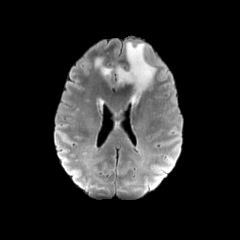
FLAIR MR.
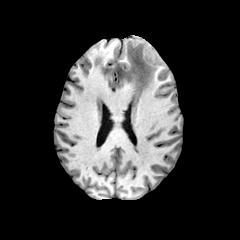
T1-weighted MR image.
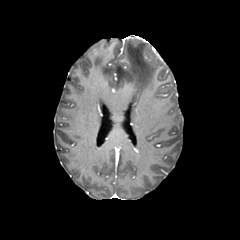
Post-contrast T1-weighted MR image.
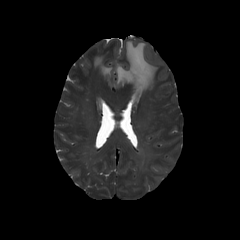
T2-weighted magnetic resonance.
240x240 | Head
2 peritumoral edema regions are bounded by rect(115, 42, 156, 102); rect(95, 58, 112, 77).